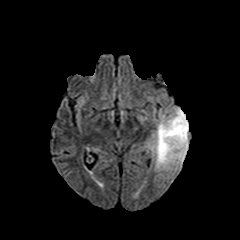
FLAIR MRI.
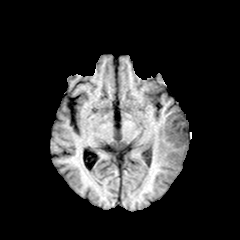
T1-weighted MR image.
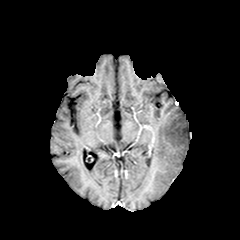
Same slice, post-contrast T1-weighted magnetic resonance.
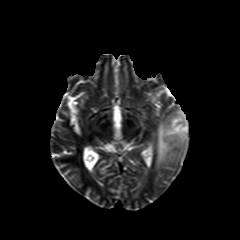
Same slice, T2-weighted MRI.
peritumoral edema — [153, 108, 188, 169]